Slice index 73; Head; 240x240 px; Axial view
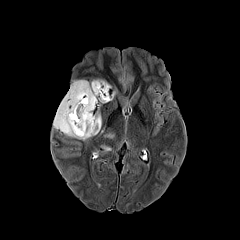
FLAIR magnetic resonance.
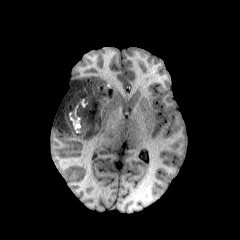
T1-weighted magnetic resonance.
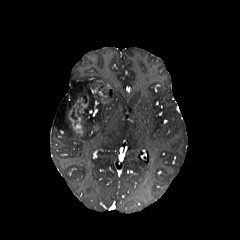
Post-contrast T1-weighted MRI.
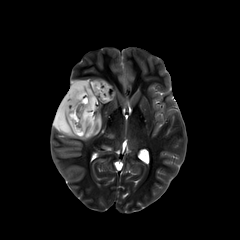
T2-weighted magnetic resonance.
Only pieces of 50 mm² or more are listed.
The 3 largest enhancing tumor regions are located at {"x1": 93, "y1": 85, "x2": 107, "y2": 103}, {"x1": 79, "y1": 95, "x2": 88, "y2": 113}, {"x1": 68, "y1": 108, "x2": 83, "y2": 136}. The 2 largest necrotic tumor core regions are located at {"x1": 69, "y1": 93, "x2": 101, "y2": 134}, {"x1": 93, "y1": 82, "x2": 109, "y2": 97}. The largest peritumoral edema region is at {"x1": 53, "y1": 79, "x2": 107, "y2": 140}.